Slice 43/155, 240x240 px
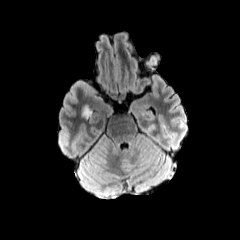
FLAIR MR.
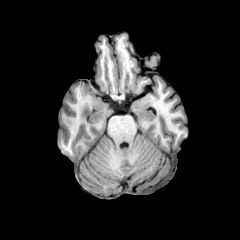
Same slice, T1-weighted MR image.
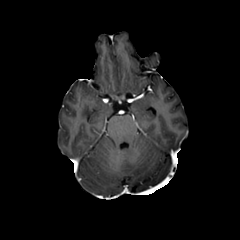
Post-contrast T1-weighted MR.
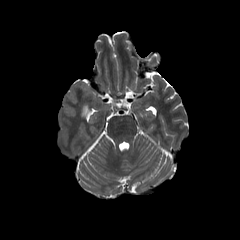
T2-weighted magnetic resonance.
The peritumoral edema is bounded by (left=83, top=106, right=90, bottom=116).